Image width 240 mm, 1.00 mm slice spacing, 240x240 px, Slice index 77
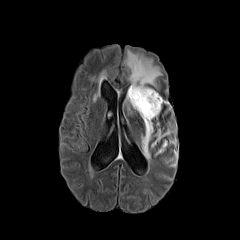
FLAIR MR.
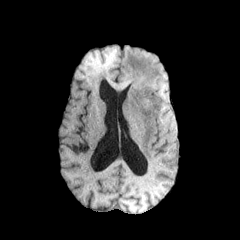
T1-weighted MRI.
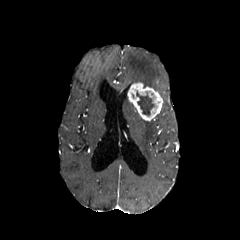
Post-contrast T1-weighted MR image.
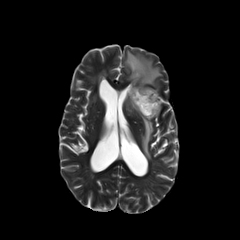
T2-weighted MRI.
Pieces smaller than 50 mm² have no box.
{"enhancing_tumor": ["left=127, top=82, right=163, bottom=121"], "peritumoral_edema": ["left=124, top=50, right=162, bottom=87", "left=141, top=120, right=171, bottom=161", "left=125, top=97, right=134, bottom=110"], "necrotic_tumor_core": ["left=136, top=91, right=154, bottom=115"]}